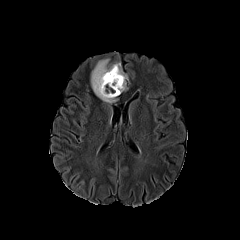
FLAIR MR.
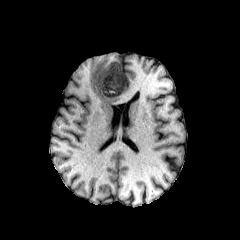
T1-weighted MRI.
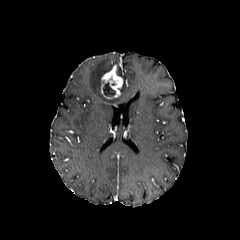
Post-contrast T1-weighted MRI of the same slice.
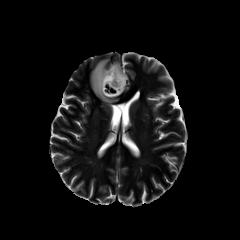
Same slice, T2-weighted magnetic resonance.
Brain; Axial slice
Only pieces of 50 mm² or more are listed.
{
  "necrotic_tumor_core": [
    "<box>103,82,115,96</box>"
  ],
  "enhancing_tumor": [
    "<box>101,65,123,98</box>"
  ],
  "peritumoral_edema": [
    "<box>90,58,128,103</box>"
  ]
}